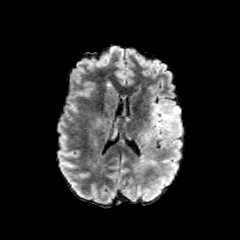
FLAIR MRI.
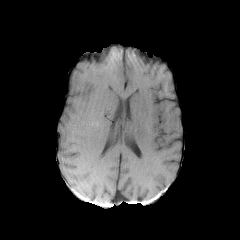
Same slice, T1-weighted magnetic resonance.
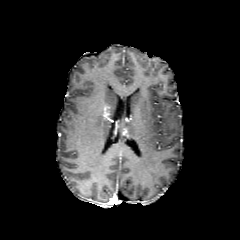
Post-contrast T1-weighted MRI of the same slice.
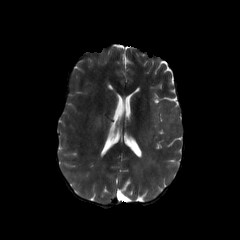
T2-weighted magnetic resonance.
Head
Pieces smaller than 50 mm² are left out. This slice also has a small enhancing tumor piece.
- peritumoral edema: 141:153:155:172, 140:104:184:144